Brain. Slice index 67. Axial slice.
FLAIR MR.
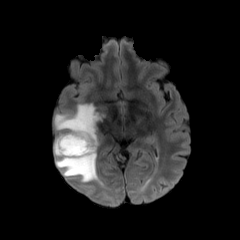
T1-weighted MRI.
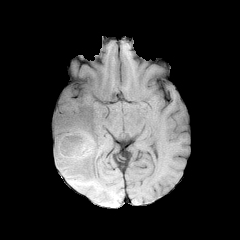
Post-contrast T1-weighted magnetic resonance.
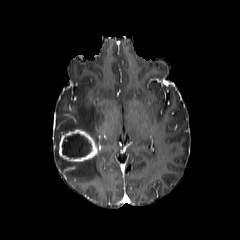
T2-weighted MRI.
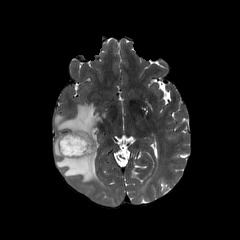
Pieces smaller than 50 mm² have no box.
{"enhancing_tumor": ["[x1=58, y1=129, x2=100, y2=162]"], "peritumoral_edema": ["[x1=53, y1=103, x2=102, y2=182]"], "necrotic_tumor_core": ["[x1=62, y1=133, x2=91, y2=157]"]}